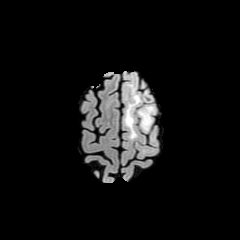
FLAIR MRI.
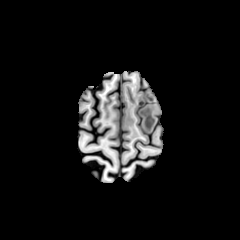
T1-weighted MR image.
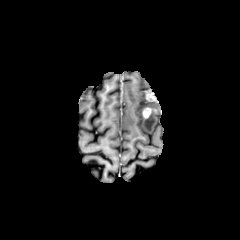
Post-contrast T1-weighted MR image.
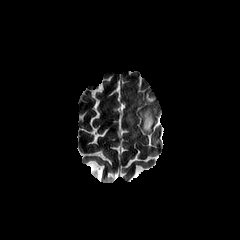
Same slice, T2-weighted MR image.
Head
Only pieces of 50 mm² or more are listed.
Annotated regions:
* enhancing tumor: (left=142, top=107, right=156, bottom=118), (left=146, top=90, right=155, bottom=101)
* peritumoral edema: (left=138, top=105, right=156, bottom=132), (left=125, top=90, right=142, bottom=138)